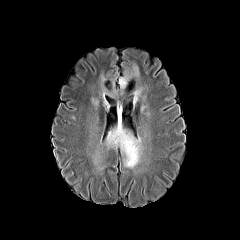
FLAIR MR image.
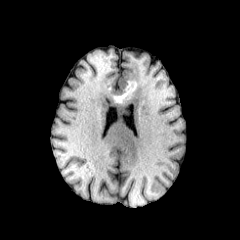
T1-weighted magnetic resonance.
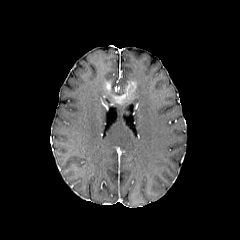
Post-contrast T1-weighted MR image.
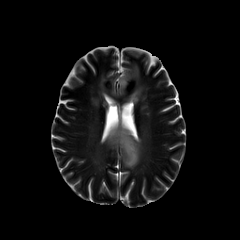
T2-weighted MRI of the same slice.
Image size 240x240; Head
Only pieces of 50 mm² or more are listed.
The 3 largest peritumoral edema regions are located at 105 114 142 168, 99 75 107 98, 119 65 142 103.